FLAIR magnetic resonance.
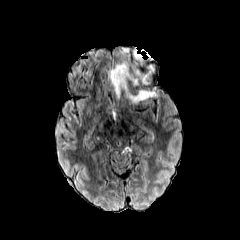
T1-weighted MRI.
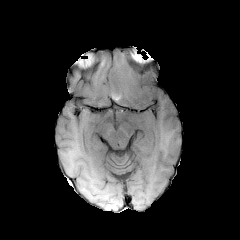
Post-contrast T1-weighted MR image.
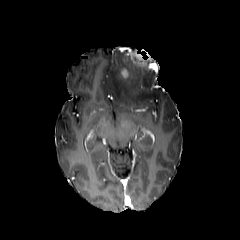
T2-weighted magnetic resonance.
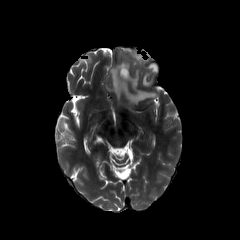
Head
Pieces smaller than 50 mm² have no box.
peritumoral edema: bounding box bbox(141, 73, 149, 84); bbox(109, 61, 156, 103)
enhancing tumor: bounding box bbox(121, 48, 130, 56); bbox(120, 68, 128, 78)